FLAIR MR.
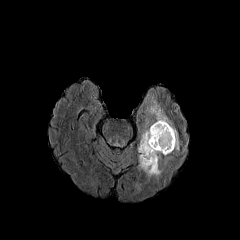
T1-weighted MRI.
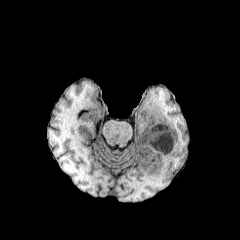
Post-contrast T1-weighted magnetic resonance.
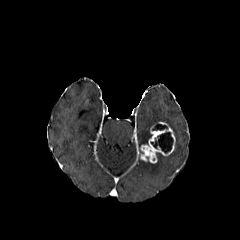
T2-weighted MRI.
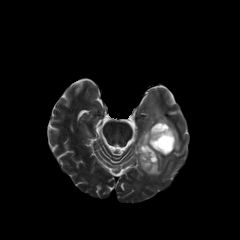
240x240 px. Axial plane.
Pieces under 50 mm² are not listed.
enhancing tumor = [x1=140, y1=121, x2=175, y2=163]
peritumoral edema = [x1=138, y1=119, x2=154, y2=151], [x1=147, y1=99, x2=179, y2=150], [x1=139, y1=159, x2=162, y2=177]
necrotic tumor core = [x1=150, y1=132, x2=173, y2=153], [x1=152, y1=123, x2=167, y2=130]